Slice 74/155; Image width 240 mm; 240x240 px; Head
FLAIR MRI.
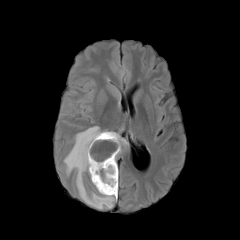
T1-weighted MR image.
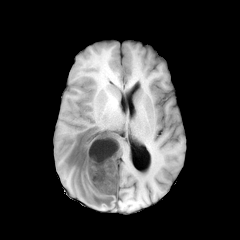
Post-contrast T1-weighted MR.
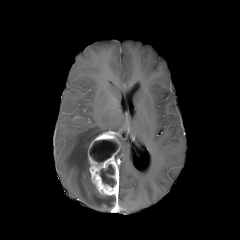
T2-weighted MRI.
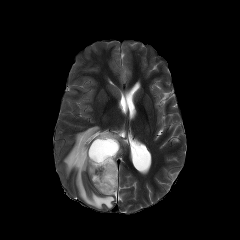
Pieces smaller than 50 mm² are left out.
The enhancing tumor is bounded by (88,131,120,196). The 2 largest peritumoral edema regions appear at (115,134,128,161), (64,126,116,209). 2 necrotic tumor core regions are located at (100,164,116,187), (89,140,118,162).